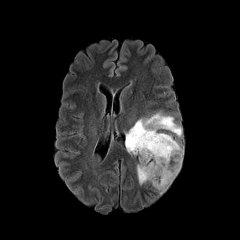
FLAIR magnetic resonance.
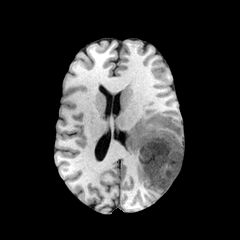
T1-weighted MRI of the same slice.
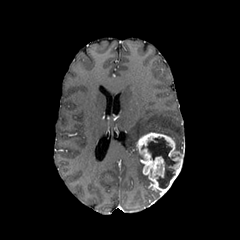
Post-contrast T1-weighted MR of the same slice.
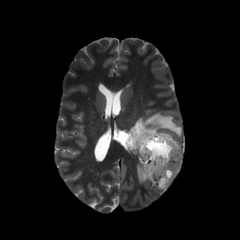
T2-weighted MR image of the same slice.
Axial view.
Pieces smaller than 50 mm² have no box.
necrotic tumor core at {"x1": 146, "y1": 137, "x2": 176, "y2": 188}
peritumoral edema at {"x1": 137, "y1": 161, "x2": 149, "y2": 184}, {"x1": 174, "y1": 140, "x2": 182, "y2": 153}, {"x1": 125, "y1": 112, "x2": 181, "y2": 155}
enhancing tumor at {"x1": 136, "y1": 132, "x2": 183, "y2": 193}